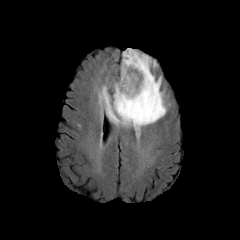
FLAIR MR image.
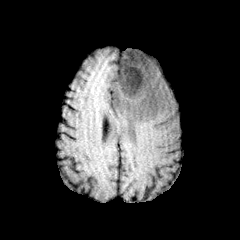
T1-weighted magnetic resonance.
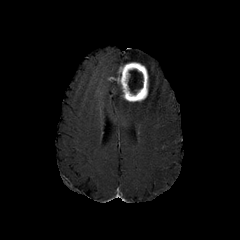
Post-contrast T1-weighted MRI.
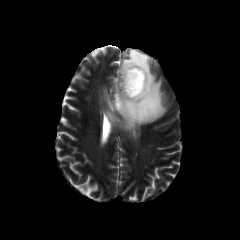
Same slice, T2-weighted magnetic resonance.
Brain; Image size 240x240
The enhancing tumor is bounded by 115 61 148 102. The peritumoral edema is bounded by 99 49 166 131. The necrotic tumor core lies within 128 70 142 93.